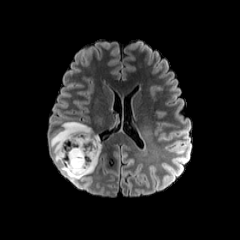
FLAIR MR.
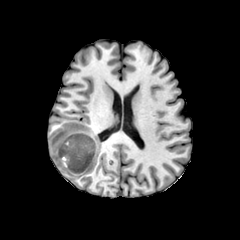
T1-weighted MRI.
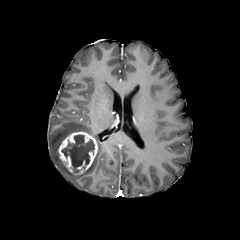
Post-contrast T1-weighted MR.
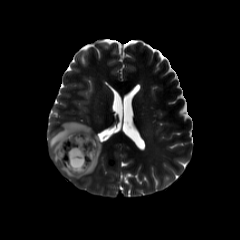
T2-weighted magnetic resonance.
necrotic tumor core: [x1=61, y1=134, x2=94, y2=168] | peritumoral edema: [x1=49, y1=121, x2=101, y2=179] | enhancing tumor: [x1=58, y1=132, x2=97, y2=174]